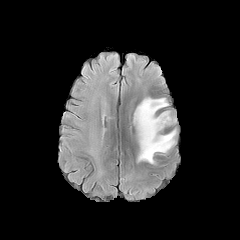
FLAIR MRI.
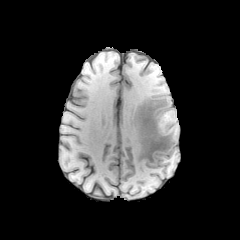
T1-weighted MR.
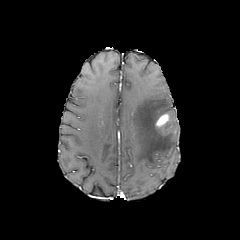
Post-contrast T1-weighted MRI of the same slice.
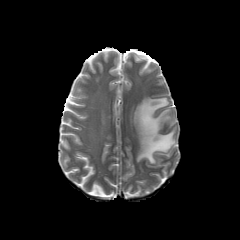
Same slice, T2-weighted magnetic resonance.
Image size 240x240 | Head
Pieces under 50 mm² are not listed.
enhancing tumor: box(155, 114, 170, 127) | peritumoral edema: box(133, 97, 176, 163)